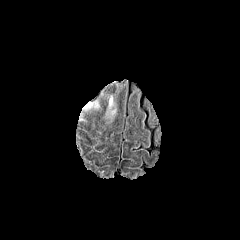
FLAIR MRI.
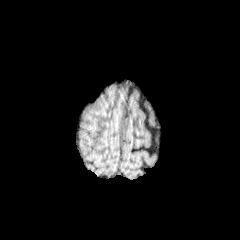
T1-weighted MRI of the same slice.
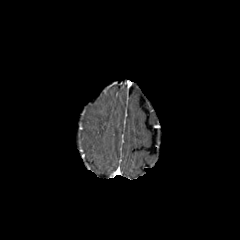
Post-contrast T1-weighted MR image.
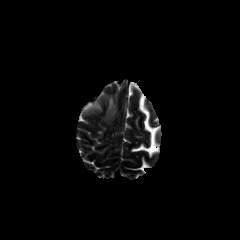
Same slice, T2-weighted magnetic resonance.
Head
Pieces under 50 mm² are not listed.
The 2 largest peritumoral edema regions appear at (x1=83, y1=99, x2=100, y2=112), (x1=107, y1=95, x2=114, y2=109).